FLAIR MR.
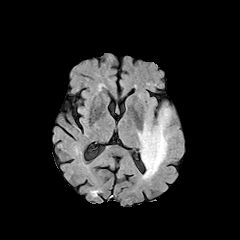
T1-weighted magnetic resonance.
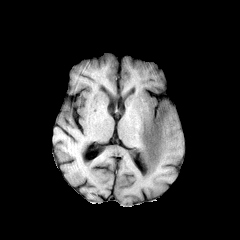
Post-contrast T1-weighted MR.
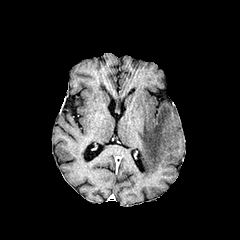
T2-weighted MR image.
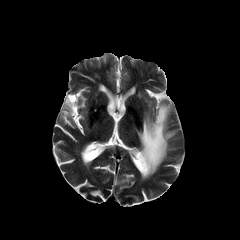
Head | Axial view
peritumoral edema: bbox(137, 104, 174, 179)